Image size 240x240; Brain; Image width 240 mm; Slice 85 of 155
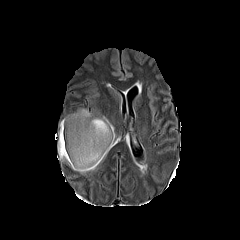
FLAIR magnetic resonance.
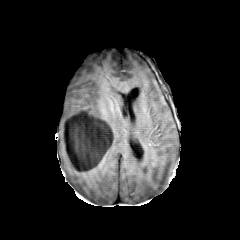
Same slice, T1-weighted magnetic resonance.
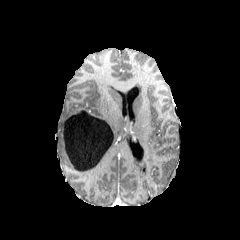
Same slice, post-contrast T1-weighted magnetic resonance.
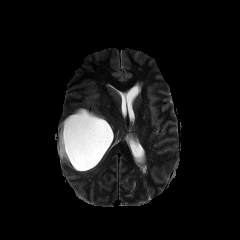
T2-weighted MR image.
The necrotic tumor core is at 60, 110, 113, 170. The peritumoral edema lies within 57, 108, 115, 173.